FLAIR MR.
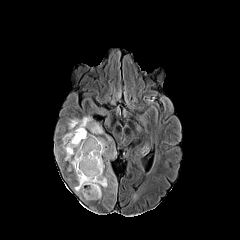
T1-weighted MRI.
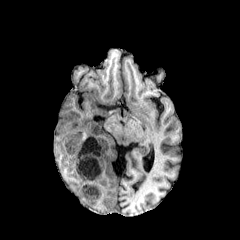
Post-contrast T1-weighted magnetic resonance.
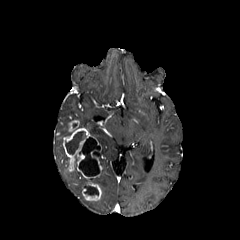
T2-weighted MR.
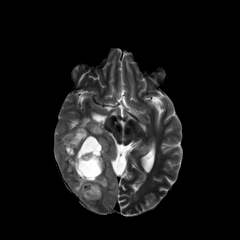
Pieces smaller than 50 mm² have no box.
peritumoral_edema:
  - x1=55 y1=144 x2=65 y2=160
  - x1=78 y1=116 x2=102 y2=134
  - x1=74 y1=169 x2=88 y2=194
  - x1=109 y1=167 x2=117 y2=193
  - x1=90 y1=156 x2=109 y2=188
  - x1=97 y1=137 x2=107 y2=156
enhancing_tumor:
  - x1=63 y1=120 x2=102 y2=200
necrotic_tumor_core:
  - x1=78 y1=137 x2=100 y2=176
  - x1=84 y1=185 x2=98 y2=195
  - x1=65 y1=131 x2=85 y2=154